Axial view. Brain.
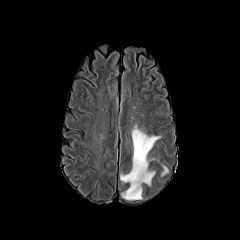
FLAIR MRI.
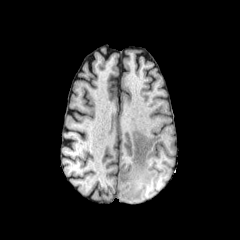
T1-weighted MRI.
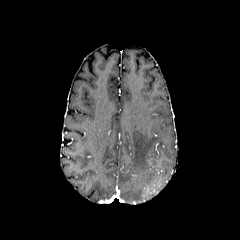
Post-contrast T1-weighted magnetic resonance of the same slice.
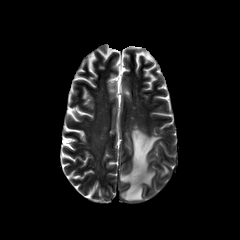
T2-weighted MRI.
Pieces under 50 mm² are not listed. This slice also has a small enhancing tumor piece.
Segmented structures:
• peritumoral edema: bbox=[120, 125, 160, 200]